FLAIR MR image.
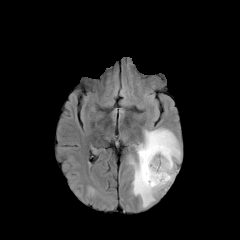
T1-weighted MR image.
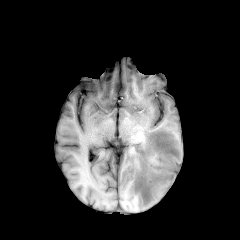
Post-contrast T1-weighted MR image.
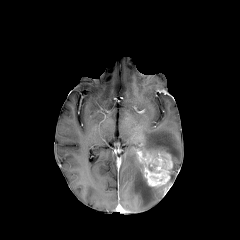
T2-weighted magnetic resonance.
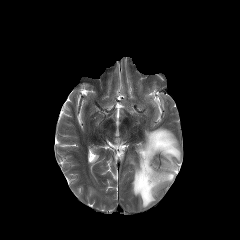
Brain.
{"peritumoral_edema": ["rect(136, 128, 181, 183)", "rect(129, 158, 165, 207)"], "enhancing_tumor": ["rect(137, 149, 173, 191)"]}